Image size 240x240
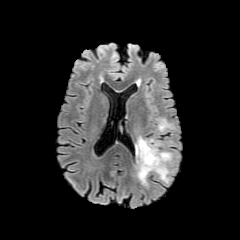
FLAIR magnetic resonance.
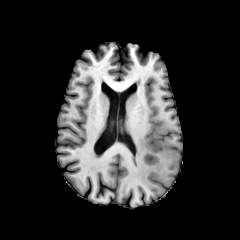
Same slice, T1-weighted MRI.
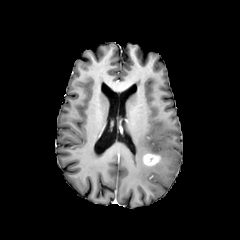
Post-contrast T1-weighted MR image of the same slice.
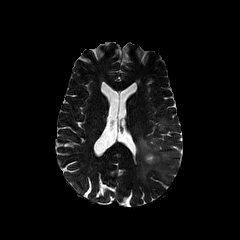
T2-weighted magnetic resonance of the same slice.
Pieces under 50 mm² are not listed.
enhancing_tumor:
  - x1=143, y1=153, x2=160, y2=165
peritumoral_edema:
  - x1=136, y1=137, x2=173, y2=184